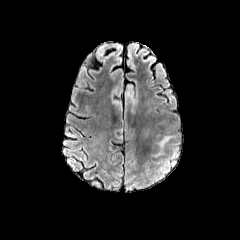
FLAIR MRI.
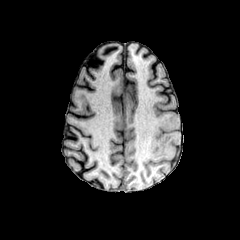
T1-weighted magnetic resonance.
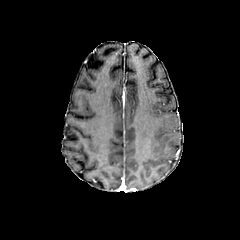
Post-contrast T1-weighted MR image.
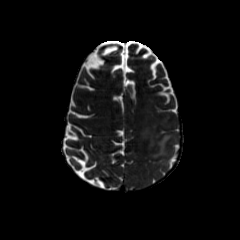
T2-weighted MR image.
Brain; 240x240
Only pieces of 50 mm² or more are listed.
The largest peritumoral edema region is located at l=152, t=135, r=177, b=156.